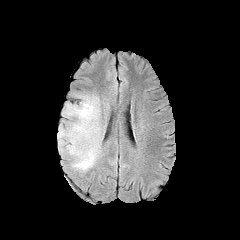
FLAIR MR image.
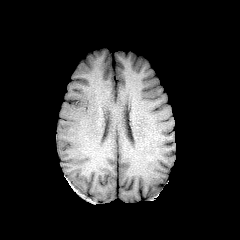
T1-weighted MRI of the same slice.
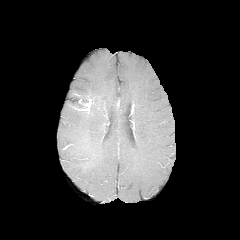
Post-contrast T1-weighted MR image.
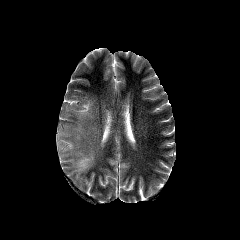
T2-weighted MR of the same slice.
Image size 240x240.
The peritumoral edema lies within box(58, 95, 100, 172).